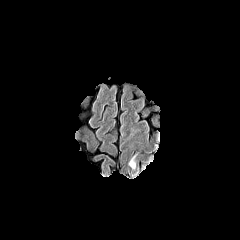
FLAIR MR.
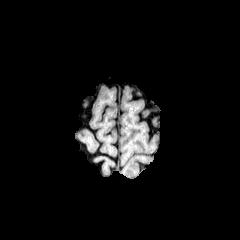
T1-weighted MRI.
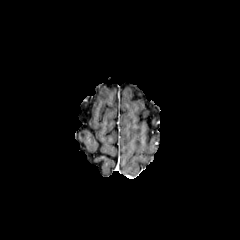
Post-contrast T1-weighted MR image.
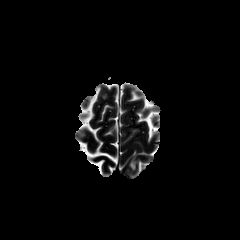
T2-weighted magnetic resonance.
240x240
peritumoral edema at region(129, 158, 135, 169)